240x240. Axial plane. Image width 240 mm.
FLAIR magnetic resonance.
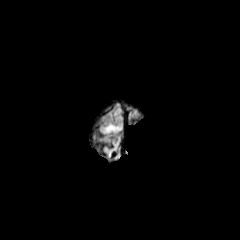
T1-weighted MRI.
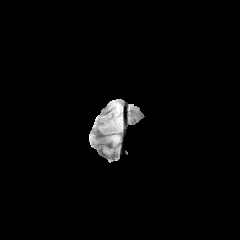
Post-contrast T1-weighted MRI.
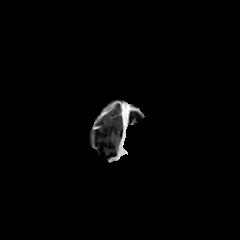
T2-weighted MRI.
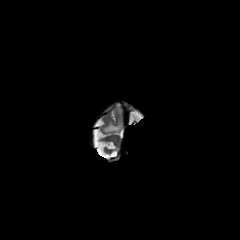
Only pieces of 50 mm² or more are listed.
The largest peritumoral edema region is at rect(103, 122, 121, 132).